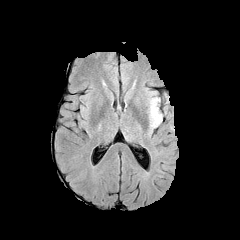
FLAIR magnetic resonance.
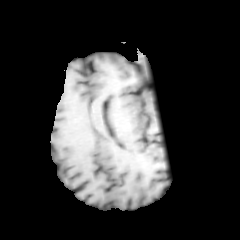
T1-weighted MR image.
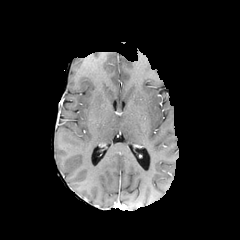
Same slice, post-contrast T1-weighted MR image.
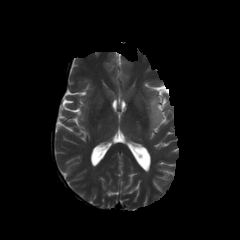
T2-weighted MR.
Brain
The peritumoral edema is at <box>149,97,161,129</box>.